Brain | Axial view
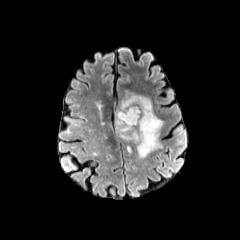
FLAIR MRI.
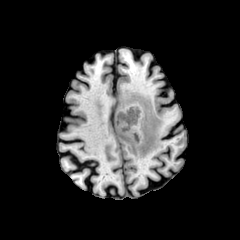
T1-weighted MR image of the same slice.
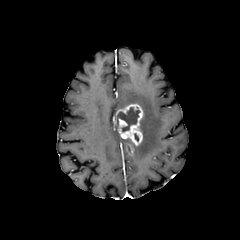
Post-contrast T1-weighted MR.
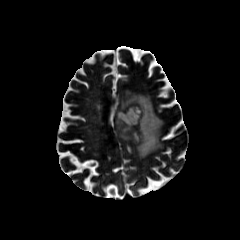
Same slice, T2-weighted MR.
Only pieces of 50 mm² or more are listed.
necrotic tumor core: 117:107:139:131
peritumoral edema: 118:92:163:158
enhancing tumor: 115:104:143:154